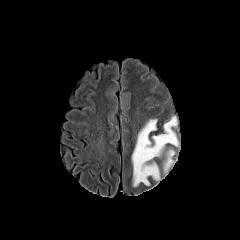
FLAIR magnetic resonance.
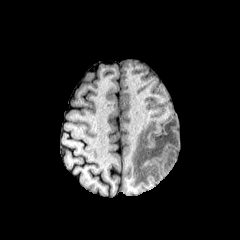
T1-weighted magnetic resonance.
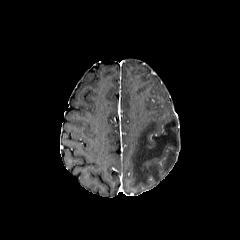
Post-contrast T1-weighted MR image.
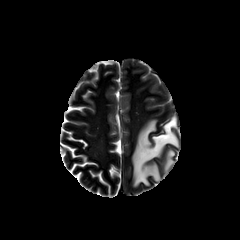
T2-weighted MRI of the same slice.
Image size 240x240
Annotated regions:
- peritumoral edema: 132 116 178 186, 163 149 175 174